Head | Slice 111 of 155 | 240x240 | Axial plane | Image covers 240 mm x 240 mm
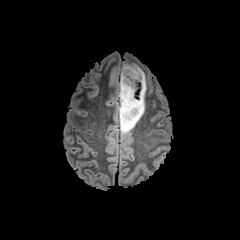
FLAIR MRI.
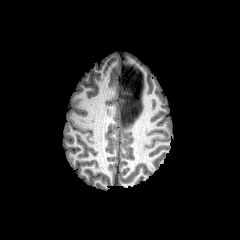
Same slice, T1-weighted MR image.
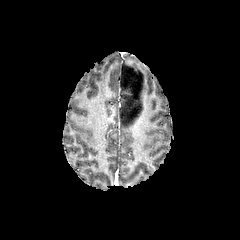
Post-contrast T1-weighted MRI.
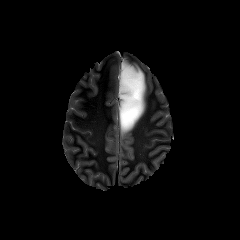
T2-weighted MRI.
peritumoral edema: bounding box left=119, top=62, right=146, bottom=136